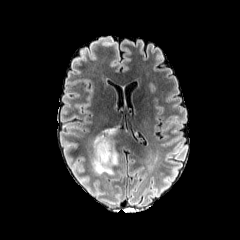
FLAIR MR image.
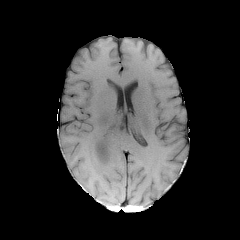
Same slice, T1-weighted magnetic resonance.
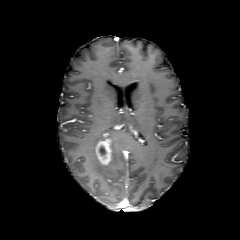
Post-contrast T1-weighted MRI.
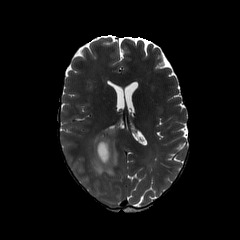
T2-weighted MR of the same slice.
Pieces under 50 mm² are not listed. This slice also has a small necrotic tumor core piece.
{
  "enhancing_tumor": [
    "95,133,111,165"
  ],
  "peritumoral_edema": [
    "91,128,117,175"
  ]
}